Image width 240 mm | Head | 240x240 | Slice 49 of 155
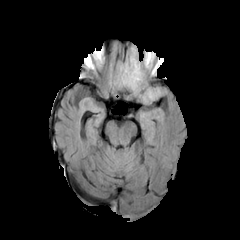
FLAIR MR image.
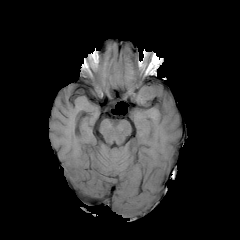
Same slice, T1-weighted MR image.
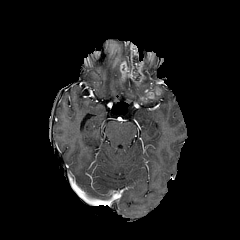
Post-contrast T1-weighted magnetic resonance of the same slice.
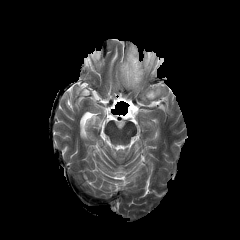
T2-weighted MR image.
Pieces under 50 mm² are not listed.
peritumoral edema = l=118, t=62, r=145, b=92; l=126, t=50, r=130, b=67; l=142, t=53, r=151, b=74
enhancing tumor = l=120, t=44, r=145, b=86; l=141, t=86, r=161, b=101
necrotic tumor core = l=133, t=56, r=138, b=71